FLAIR magnetic resonance.
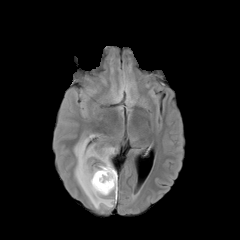
T1-weighted MRI.
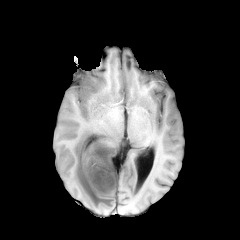
Post-contrast T1-weighted magnetic resonance.
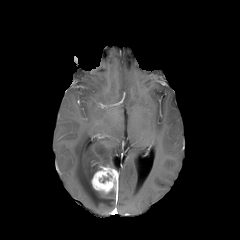
T2-weighted MR image.
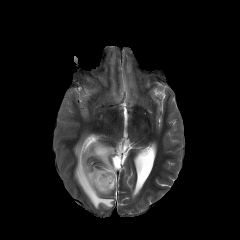
Image size 240x240, Head, Axial slice
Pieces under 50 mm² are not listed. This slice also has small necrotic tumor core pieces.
The largest peritumoral edema region lies within [74, 134, 117, 209]. The 2 largest enhancing tumor regions are located at [91, 164, 118, 193], [94, 146, 105, 157].